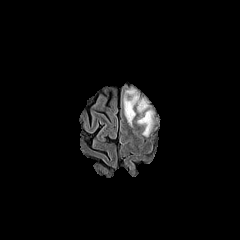
FLAIR magnetic resonance.
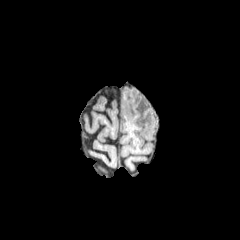
Same slice, T1-weighted magnetic resonance.
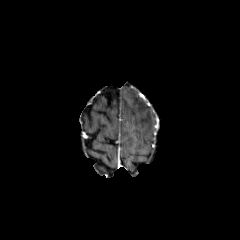
Post-contrast T1-weighted magnetic resonance of the same slice.
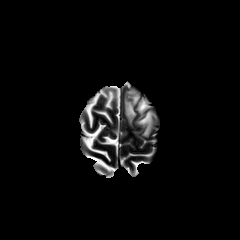
Same slice, T2-weighted MRI.
Brain; Axial plane; 240x240 px
peritumoral edema: region(124, 89, 147, 127); region(137, 110, 153, 136)